240x240. Axial plane. Image width 240 mm. Brain.
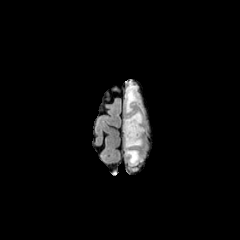
FLAIR magnetic resonance.
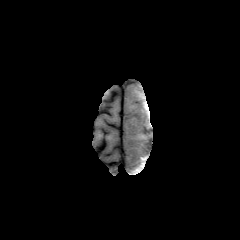
T1-weighted magnetic resonance.
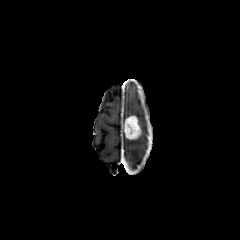
Post-contrast T1-weighted magnetic resonance.
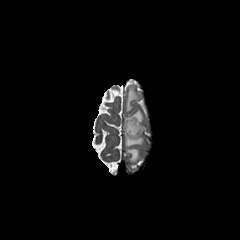
Same slice, T2-weighted MR.
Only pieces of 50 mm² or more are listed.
peritumoral edema — {"x1": 125, "y1": 135, "x2": 143, "y2": 165}, {"x1": 126, "y1": 111, "x2": 142, "y2": 124}, {"x1": 125, "y1": 85, "x2": 139, "y2": 113}
enhancing tumor — {"x1": 124, "y1": 115, "x2": 141, "y2": 139}